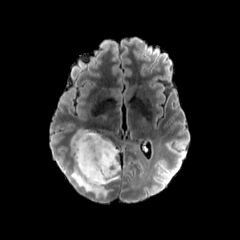
FLAIR MR image.
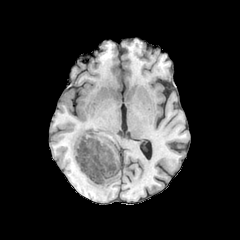
Same slice, T1-weighted MRI.
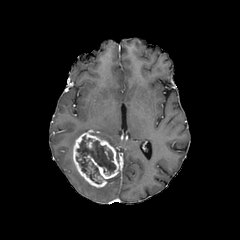
Post-contrast T1-weighted MRI of the same slice.
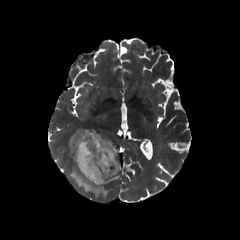
T2-weighted MR image of the same slice.
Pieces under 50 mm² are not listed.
peritumoral edema: 70, 129, 88, 155; 70, 165, 109, 196 | enhancing tumor: 72, 130, 120, 187 | necrotic tumor core: 76, 135, 115, 183